FLAIR MR.
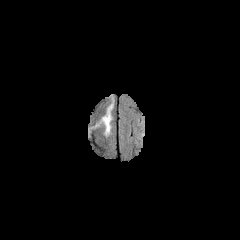
T1-weighted MR.
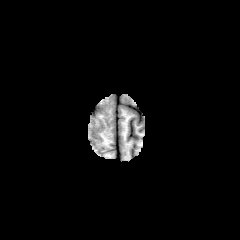
Post-contrast T1-weighted magnetic resonance.
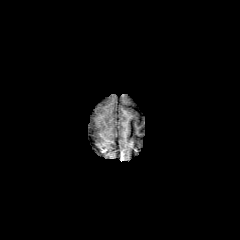
T2-weighted MRI.
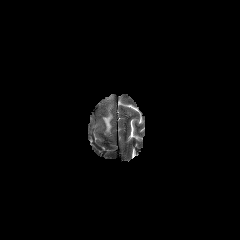
Axial view.
peritumoral edema: bounding box [103, 114, 110, 132]